Axial plane | Image size 240x240 | Head | Image covers 240 mm x 240 mm | Slice 98/155
FLAIR magnetic resonance.
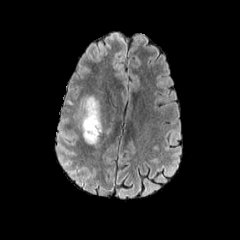
T1-weighted MR image.
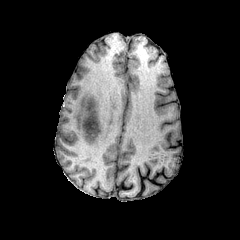
Post-contrast T1-weighted MRI.
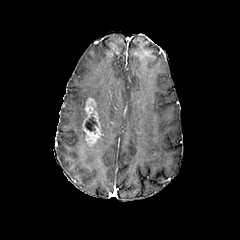
T2-weighted MR image.
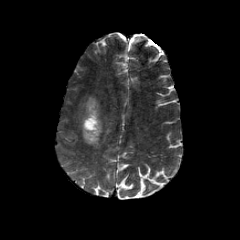
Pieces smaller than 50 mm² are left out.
The enhancing tumor is at bbox(82, 97, 100, 145). The necrotic tumor core is located at bbox(85, 114, 97, 131). The largest peritumoral edema region is bounded by bbox(81, 95, 102, 134).